Image width 240 mm | Axial plane | Slice index 140
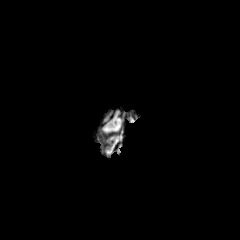
FLAIR MR image.
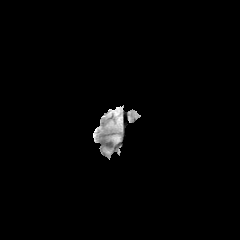
T1-weighted MRI.
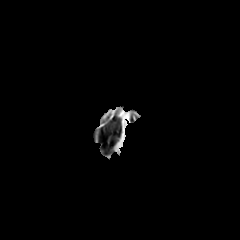
Same slice, post-contrast T1-weighted MRI.
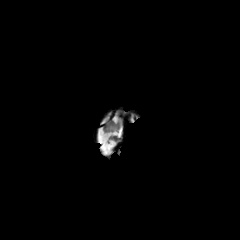
Same slice, T2-weighted MRI.
Findings:
- peritumoral edema: x1=104 y1=125 x2=119 y2=130